FLAIR MRI.
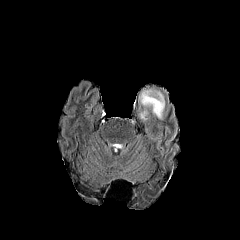
T1-weighted MRI.
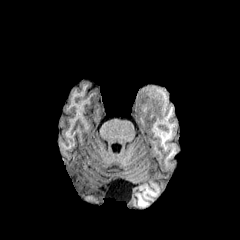
Post-contrast T1-weighted MR image.
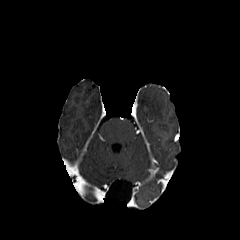
T2-weighted MRI.
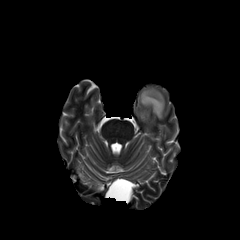
240x240 px
peritumoral edema at 138, 87, 166, 121